Brain | Axial slice | Image width 240 mm
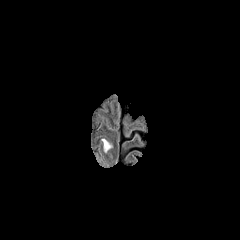
FLAIR magnetic resonance.
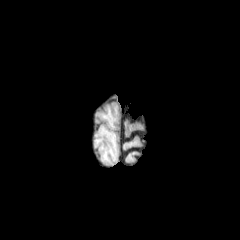
Same slice, T1-weighted MR image.
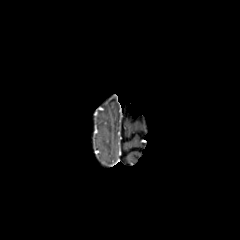
Post-contrast T1-weighted MR image.
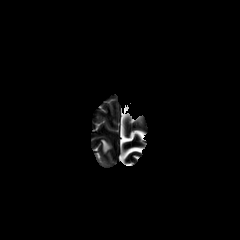
T2-weighted MR image of the same slice.
peritumoral edema at 102 139 111 151